FLAIR magnetic resonance.
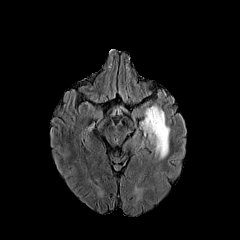
T1-weighted MRI.
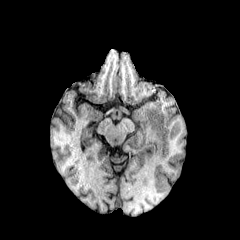
Post-contrast T1-weighted MRI.
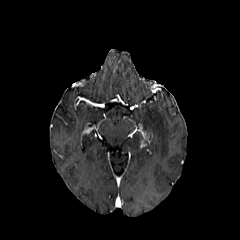
T2-weighted MR.
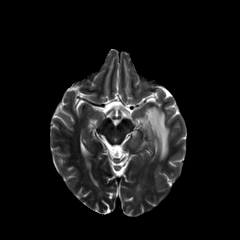
240x240 px; Axial plane
Segmented structures:
• peritumoral edema: 141, 106, 169, 159